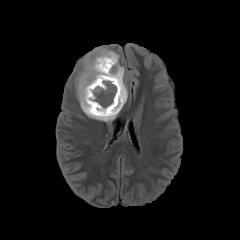
FLAIR MR.
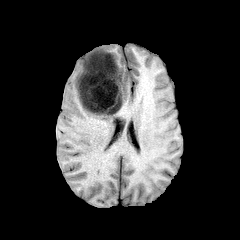
T1-weighted MR.
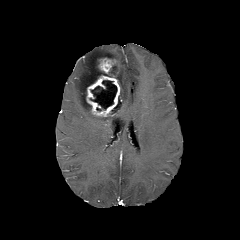
Post-contrast T1-weighted magnetic resonance.
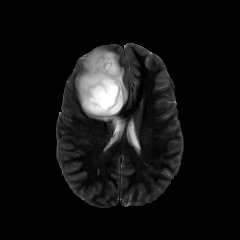
T2-weighted MRI of the same slice.
240x240 px; Axial view; Head
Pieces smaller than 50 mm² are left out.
<segmentation>
  <enhancing_tumor>(86, 58, 120, 116)</enhancing_tumor>
  <necrotic_tumor_core>(90, 80, 117, 109), (111, 96, 120, 114)</necrotic_tumor_core>
  <peritumoral_edema>(75, 46, 128, 122)</peritumoral_edema>
</segmentation>